Image covers 240 mm x 240 mm, Head
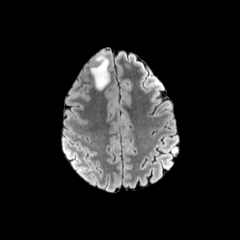
FLAIR MR.
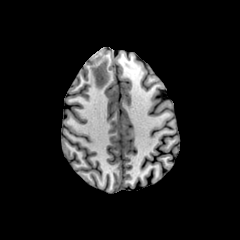
T1-weighted MR image.
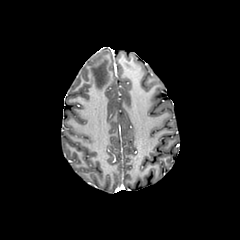
Same slice, post-contrast T1-weighted MR.
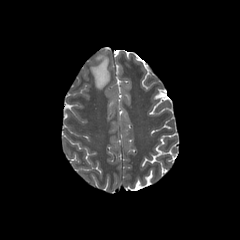
T2-weighted MR image of the same slice.
peritumoral edema: bounding box rect(91, 52, 109, 89)